Slice 38/155, Brain
FLAIR MRI.
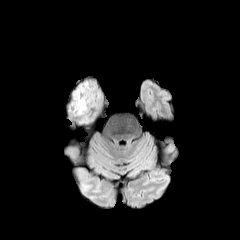
T1-weighted MR.
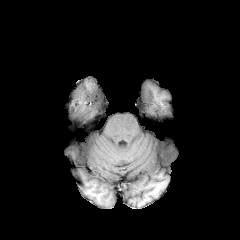
Post-contrast T1-weighted magnetic resonance.
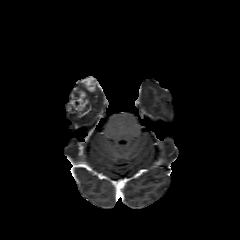
T2-weighted magnetic resonance.
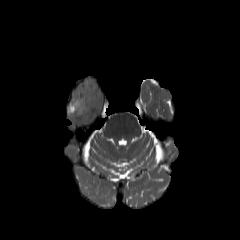
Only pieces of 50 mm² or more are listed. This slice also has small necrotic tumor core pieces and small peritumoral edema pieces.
enhancing_tumor:
  - (70,79,95,115)